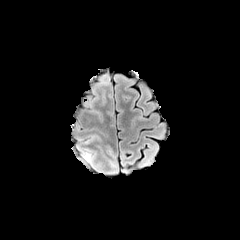
FLAIR MRI.
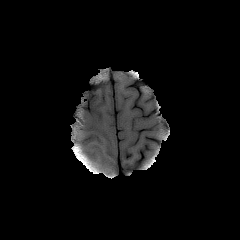
T1-weighted MRI.
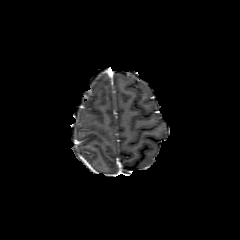
Post-contrast T1-weighted magnetic resonance.
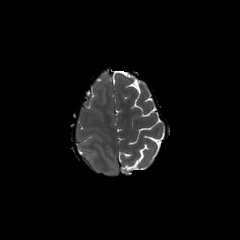
Same slice, T2-weighted MRI.
Axial plane
The peritumoral edema appears at box(84, 153, 90, 162).